FLAIR MR.
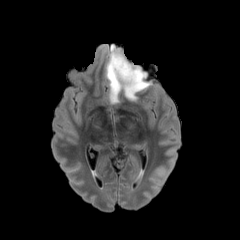
T1-weighted MR image.
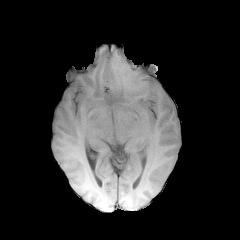
Post-contrast T1-weighted MR image.
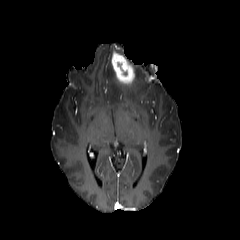
T2-weighted MR.
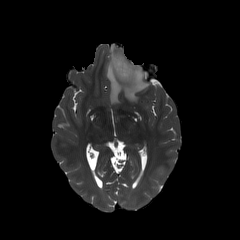
Axial slice. Brain.
<segmentation>
  <enhancing_tumor>rect(111, 52, 135, 85)</enhancing_tumor>
  <peritumoral_edema>rect(106, 45, 150, 103)</peritumoral_edema>
</segmentation>